FLAIR MR image.
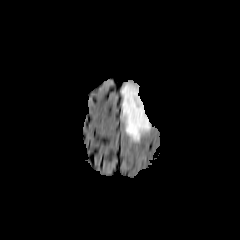
T1-weighted magnetic resonance.
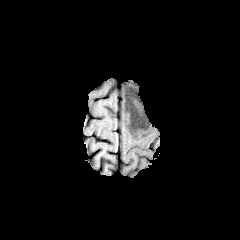
Post-contrast T1-weighted MR image.
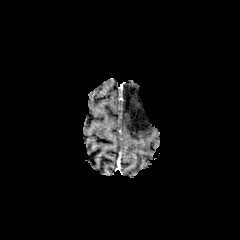
T2-weighted MRI.
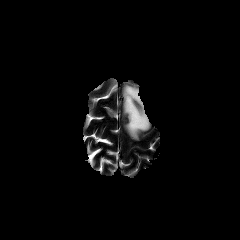
Head
peritumoral edema: x1=122, y1=83, x2=150, y2=141